FLAIR MR image.
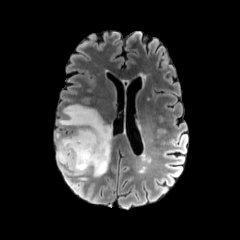
T1-weighted MR.
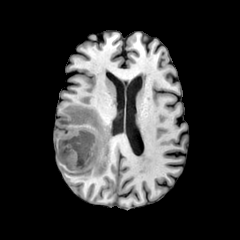
Post-contrast T1-weighted MRI.
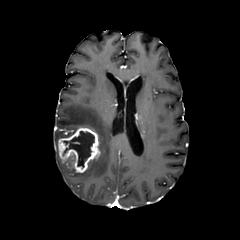
T2-weighted MR image.
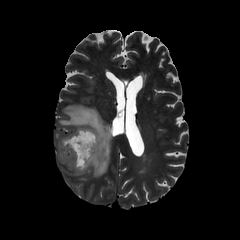
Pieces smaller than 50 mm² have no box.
<segmentation>
  <necrotic_tumor_core>(x1=63, y1=131, x2=94, y2=167)</necrotic_tumor_core>
  <enhancing_tumor>(x1=58, y1=127, x2=100, y2=172)</enhancing_tumor>
  <peritumoral_edema>(x1=55, y1=104, x2=112, y2=177)</peritumoral_edema>
</segmentation>